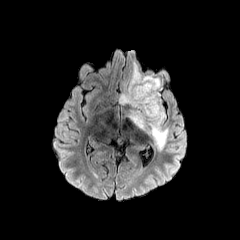
FLAIR magnetic resonance.
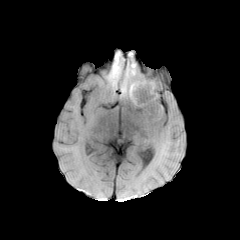
T1-weighted MRI of the same slice.
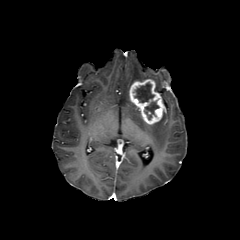
Post-contrast T1-weighted magnetic resonance.
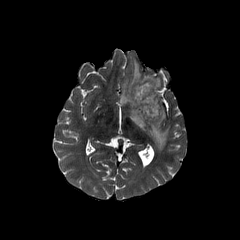
T2-weighted magnetic resonance.
240x240, Axial view
peritumoral edema: bounding box [119,61,168,149]
necrotic tumor core: bounding box [134,83,154,102], [145,102,158,119]
enhancing tumor: bounding box [129,79,164,124]